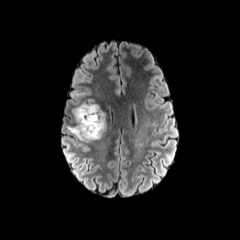
FLAIR magnetic resonance.
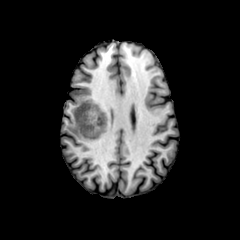
T1-weighted MRI.
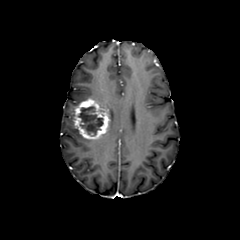
Post-contrast T1-weighted magnetic resonance.
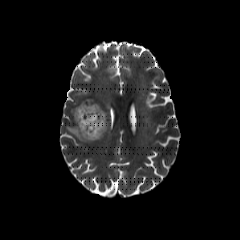
Same slice, T2-weighted magnetic resonance.
Brain
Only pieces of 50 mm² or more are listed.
{"necrotic_tumor_core": ["x1=78 y1=106 x2=103 y2=135"], "enhancing_tumor": ["x1=74 y1=98 x2=107 y2=139"], "peritumoral_edema": ["x1=67 y1=125 x2=94 y2=142"]}